Axial slice | Image covers 240 mm x 240 mm | Head | Slice index 58
FLAIR magnetic resonance.
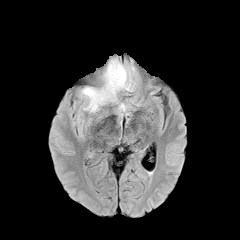
T1-weighted MR.
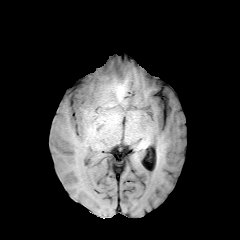
Post-contrast T1-weighted MR image.
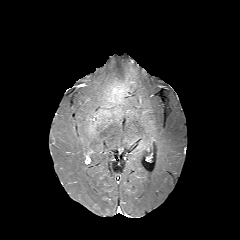
T2-weighted MR image.
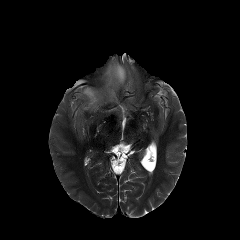
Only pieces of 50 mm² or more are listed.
peritumoral edema: x1=81 y1=60 x2=130 y2=111, x1=119 y1=104 x2=126 y2=112